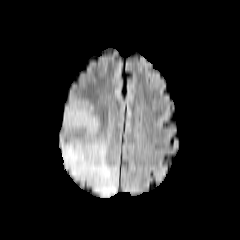
FLAIR MRI.
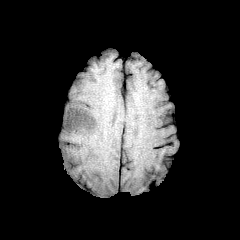
T1-weighted MR image of the same slice.
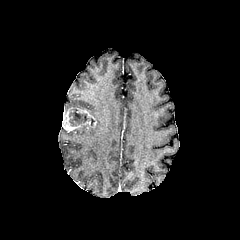
Post-contrast T1-weighted MR.
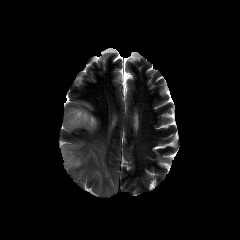
T2-weighted MRI.
240x240; Brain
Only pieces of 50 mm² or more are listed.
necrotic_tumor_core:
  - x1=69, y1=109, x2=94, y2=125
peritumoral_edema:
  - x1=60, y1=133, x2=117, y2=197
  - x1=63, y1=101, x2=98, y2=135
enhancing_tumor:
  - x1=62, y1=107, x2=96, y2=131